FLAIR MR.
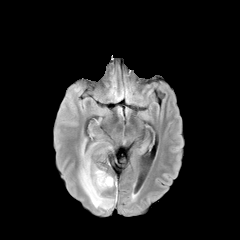
T1-weighted MR image.
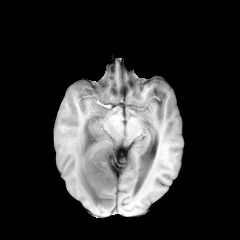
Post-contrast T1-weighted MR.
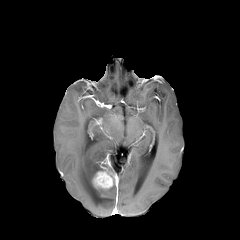
T2-weighted MR image.
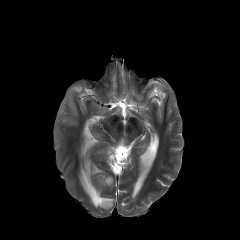
Head
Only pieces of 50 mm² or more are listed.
Annotated regions:
• enhancing tumor: (93, 171, 115, 188)
• peritumoral edema: (79, 139, 114, 209)